Axial slice, Brain, Slice 115 of 155
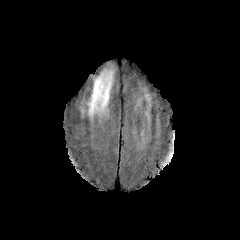
FLAIR MR image.
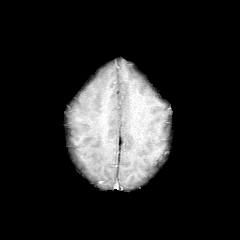
T1-weighted MR image of the same slice.
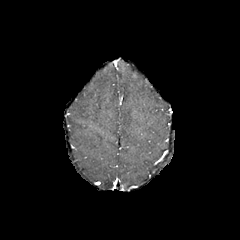
Post-contrast T1-weighted MRI.
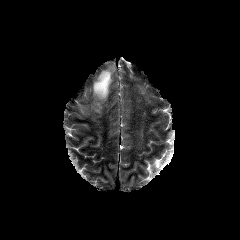
T2-weighted magnetic resonance.
The peritumoral edema is at bbox=[89, 69, 112, 114].